FLAIR MR.
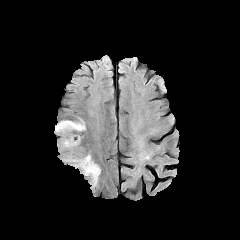
T1-weighted MRI.
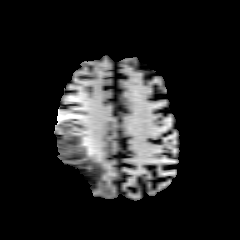
Post-contrast T1-weighted MRI.
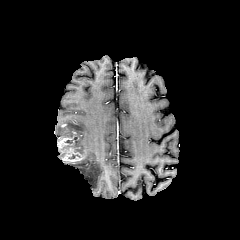
T2-weighted MR.
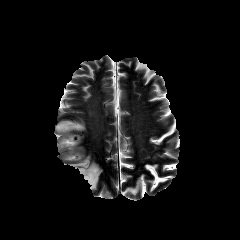
Image size 240x240, Axial plane
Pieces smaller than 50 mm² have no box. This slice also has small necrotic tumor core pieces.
peritumoral edema: (55,119,85,135), (75,135,82,152), (69,154,100,188)
enhancing tumor: (57,135,85,161)